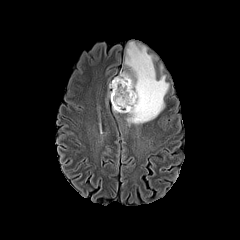
FLAIR magnetic resonance.
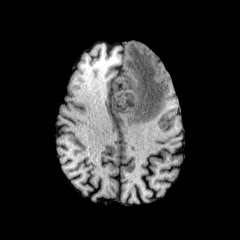
Same slice, T1-weighted MR image.
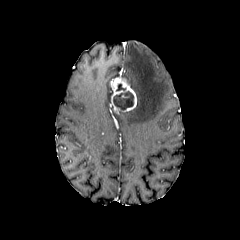
Post-contrast T1-weighted MR.
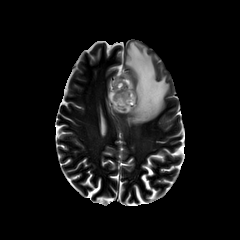
T2-weighted MR image of the same slice.
Axial slice, 240x240 px, Brain
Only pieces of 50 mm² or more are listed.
peritumoral edema — 119 42 169 125
necrotic tumor core — 113 91 133 110
enhancing tumor — 111 75 136 112